FLAIR MR.
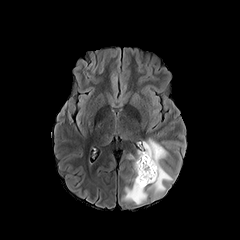
T1-weighted magnetic resonance.
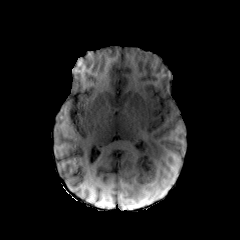
Post-contrast T1-weighted MR.
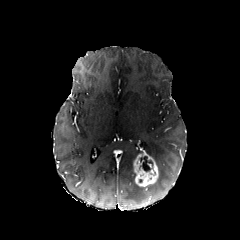
T2-weighted MR image.
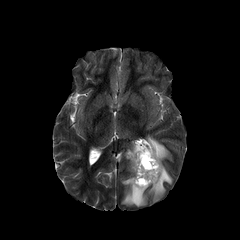
Axial view.
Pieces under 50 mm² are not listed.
peritumoral_edema:
  - [x1=127, y1=150, x2=141, y2=160]
  - [x1=121, y1=138, x2=172, y2=204]
necrotic_tumor_core:
  - [x1=140, y1=156, x2=152, y2=171]
enhancing_tumor:
  - [x1=133, y1=151, x2=158, y2=186]